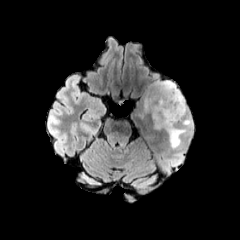
FLAIR magnetic resonance.
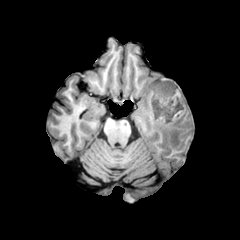
T1-weighted MRI of the same slice.
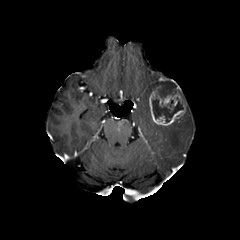
Post-contrast T1-weighted MR image of the same slice.
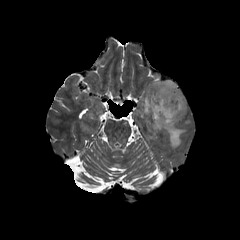
T2-weighted magnetic resonance.
Axial slice.
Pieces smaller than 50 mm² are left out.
enhancing tumor: (149, 86, 185, 125) | peritumoral edema: (154, 118, 192, 148), (144, 97, 149, 112), (154, 80, 184, 101) | necrotic tumor core: (152, 97, 183, 122)